Slice 67/155 | Axial plane | Brain | Image width 240 mm
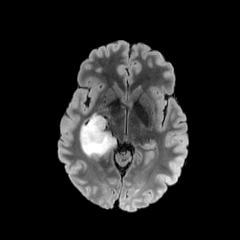
FLAIR MR.
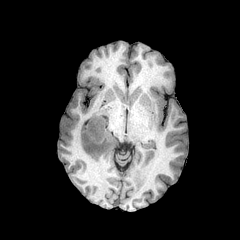
T1-weighted MR.
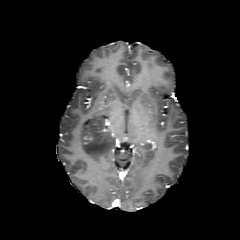
Post-contrast T1-weighted magnetic resonance of the same slice.
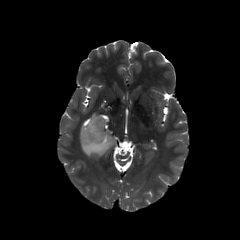
Same slice, T2-weighted MR.
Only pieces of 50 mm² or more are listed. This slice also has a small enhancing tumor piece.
The peritumoral edema is bounded by rect(79, 108, 117, 156).